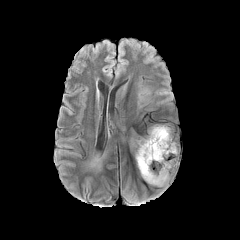
FLAIR MR.
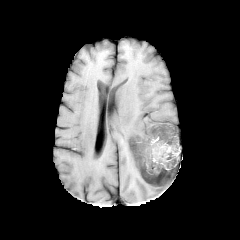
T1-weighted MRI.
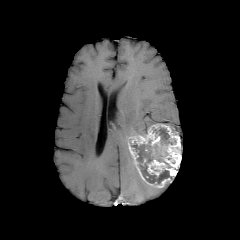
Post-contrast T1-weighted magnetic resonance.
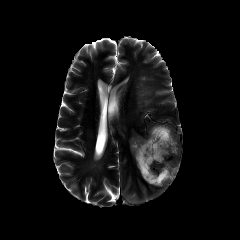
T2-weighted magnetic resonance.
Brain.
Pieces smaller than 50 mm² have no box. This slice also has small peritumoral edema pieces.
necrotic tumor core: bounding box rect(154, 128, 172, 144); rect(131, 144, 172, 183)
enhancing tumor: bounding box rect(128, 124, 180, 187)